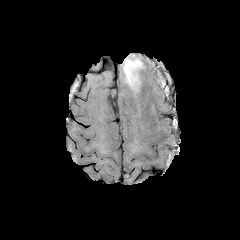
FLAIR MR.
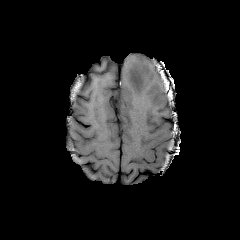
T1-weighted MRI.
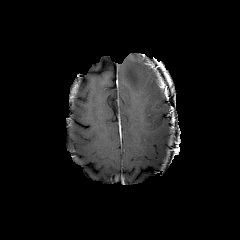
Same slice, post-contrast T1-weighted MRI.
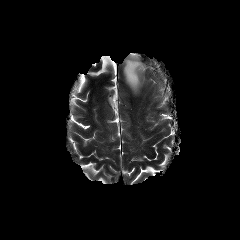
T2-weighted MR of the same slice.
Axial slice.
The peritumoral edema is bounded by left=123, top=54, right=145, bottom=92.